Brain
FLAIR magnetic resonance.
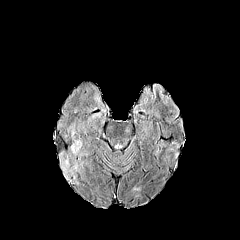
T1-weighted MRI.
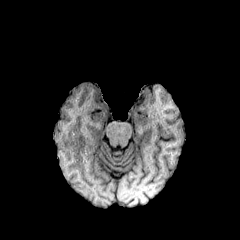
Post-contrast T1-weighted MR.
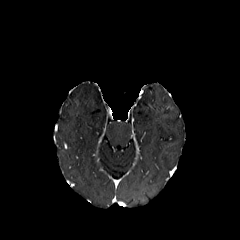
T2-weighted MR.
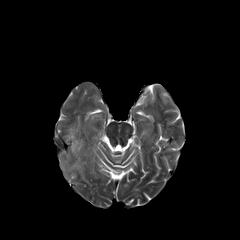
<segmentation>
  <peritumoral_edema>(62, 152, 84, 175), (72, 141, 80, 152)</peritumoral_edema>
</segmentation>